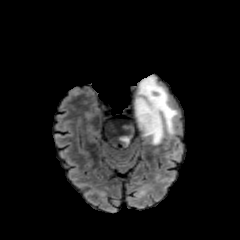
FLAIR magnetic resonance.
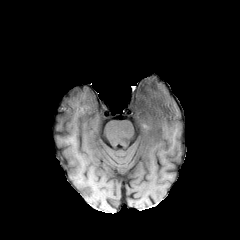
T1-weighted magnetic resonance of the same slice.
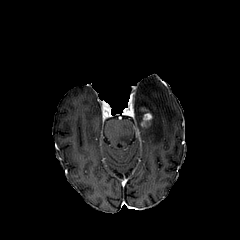
Post-contrast T1-weighted MR image of the same slice.
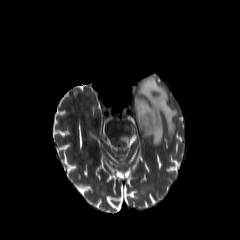
T2-weighted magnetic resonance of the same slice.
Brain.
enhancing tumor: rect(140, 107, 152, 126) | peritumoral edema: rect(134, 75, 178, 145); rect(119, 121, 134, 146)